Axial view | Slice 75/155 | Head
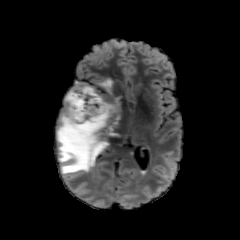
FLAIR MRI.
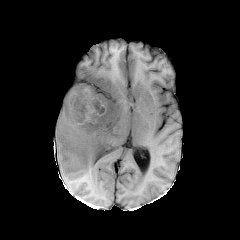
T1-weighted MRI.
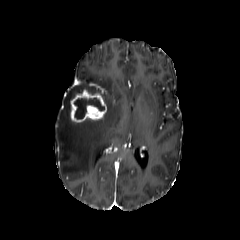
Post-contrast T1-weighted MR of the same slice.
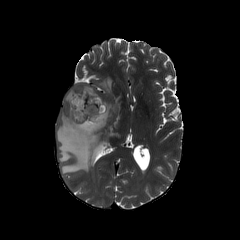
T2-weighted MR of the same slice.
The peritumoral edema is bounded by l=56, t=78, r=121, b=174. The necrotic tumor core is at l=74, t=98, r=104, b=119. The enhancing tumor is located at l=70, t=89, r=106, b=122.